FLAIR MR image.
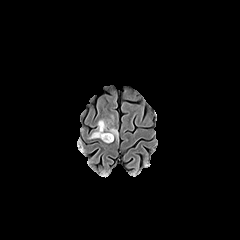
T1-weighted MRI.
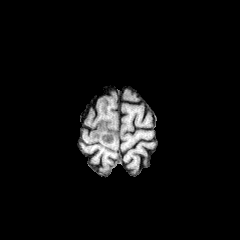
Post-contrast T1-weighted MRI.
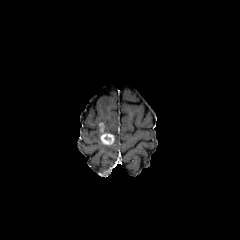
T2-weighted MR image.
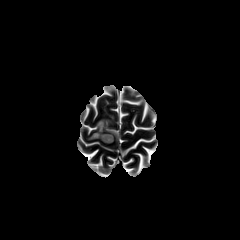
Head. 240x240 px. Axial plane.
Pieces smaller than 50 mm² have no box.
{"enhancing_tumor": ["99:122:114:144"], "peritumoral_edema": ["89:120:118:141"]}